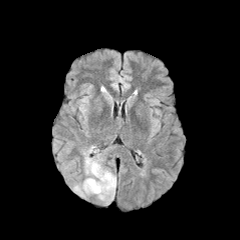
FLAIR MR image.
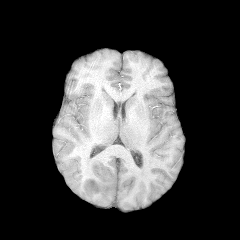
T1-weighted MRI of the same slice.
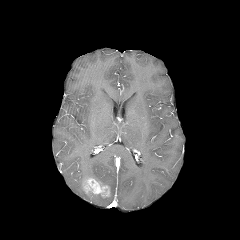
Post-contrast T1-weighted MR of the same slice.
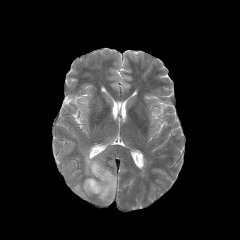
Same slice, T2-weighted magnetic resonance.
Axial plane
<segmentation>
  <peritumoral_edema>l=72, t=146, r=116, b=204</peritumoral_edema>
  <enhancing_tumor>l=83, t=178, r=109, b=196</enhancing_tumor>
</segmentation>